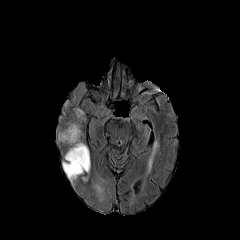
FLAIR magnetic resonance.
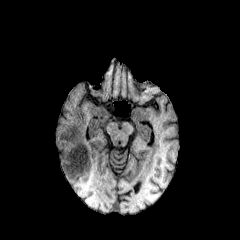
T1-weighted magnetic resonance of the same slice.
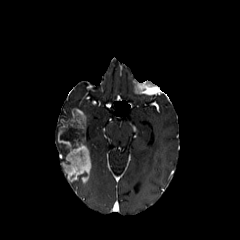
Post-contrast T1-weighted MR.
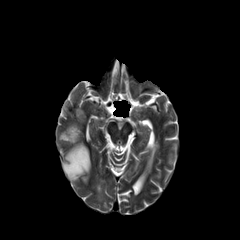
T2-weighted MRI.
240x240. Axial plane.
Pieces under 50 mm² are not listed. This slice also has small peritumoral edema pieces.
necrotic tumor core = [60,123,83,148]
enhancing tumor = [58,108,90,182]